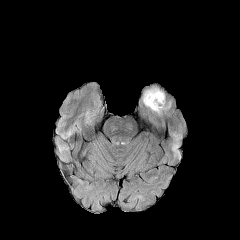
FLAIR MR image.
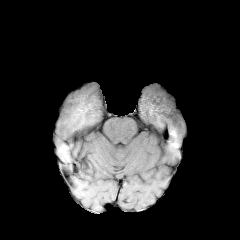
T1-weighted magnetic resonance.
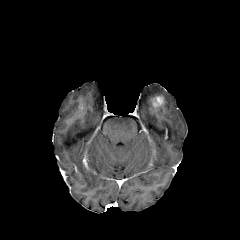
Same slice, post-contrast T1-weighted magnetic resonance.
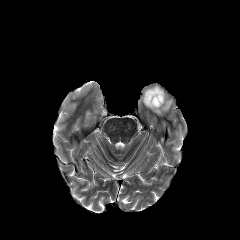
T2-weighted MR image of the same slice.
Head
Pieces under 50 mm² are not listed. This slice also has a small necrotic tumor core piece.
The peritumoral edema appears at l=143, t=87, r=170, b=114. The enhancing tumor is located at l=147, t=94, r=164, b=108.